Brain
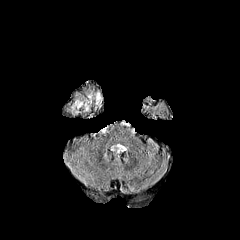
FLAIR MR image.
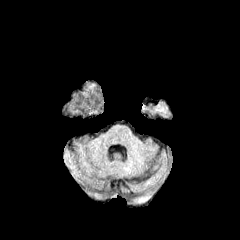
Same slice, T1-weighted MR image.
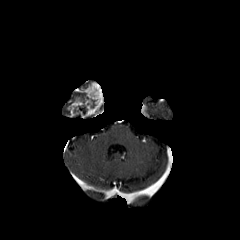
Post-contrast T1-weighted MRI of the same slice.
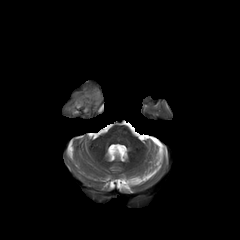
T2-weighted magnetic resonance.
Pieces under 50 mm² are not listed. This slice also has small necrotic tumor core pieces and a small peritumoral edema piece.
Segmented structures:
- enhancing tumor: [67, 83, 103, 117]